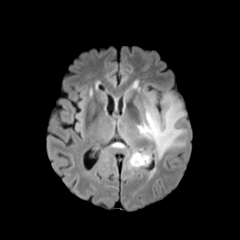
FLAIR MR.
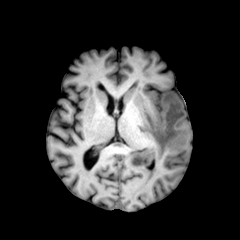
T1-weighted magnetic resonance.
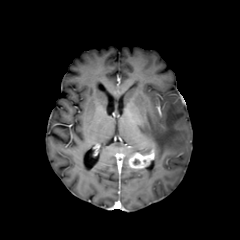
Post-contrast T1-weighted magnetic resonance of the same slice.
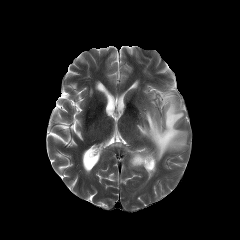
T2-weighted MRI of the same slice.
Axial view; Head; Image size 240x240
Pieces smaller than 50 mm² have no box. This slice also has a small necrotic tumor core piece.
{"enhancing_tumor": ["129, 150, 154, 168"], "peritumoral_edema": ["129, 148, 150, 158", "137, 93, 186, 161"]}